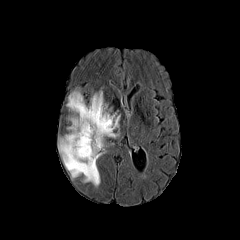
FLAIR magnetic resonance.
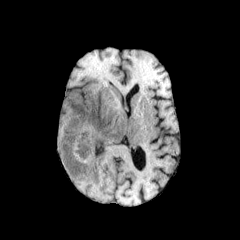
T1-weighted MR.
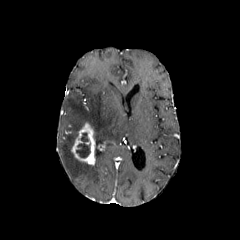
Same slice, post-contrast T1-weighted MRI.
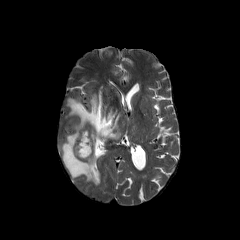
T2-weighted MR image of the same slice.
Image size 240x240. Head.
The enhancing tumor lies within box=[71, 122, 95, 165]. The peritumoral edema is bounded by box=[59, 92, 119, 185]. The necrotic tumor core is bounded by box=[76, 133, 90, 157].